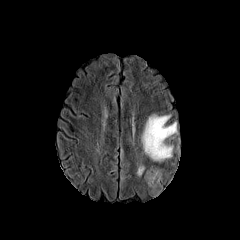
FLAIR MR image.
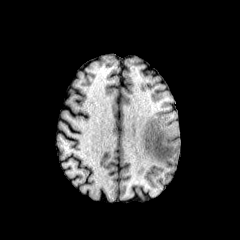
T1-weighted MR image of the same slice.
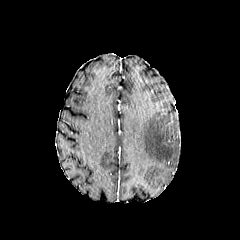
Post-contrast T1-weighted magnetic resonance.
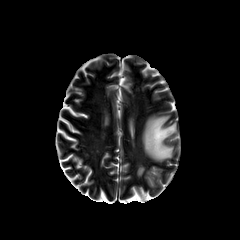
T2-weighted magnetic resonance.
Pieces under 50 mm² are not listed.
Findings:
- peritumoral edema: 141,114,177,161; 137,165,144,175; 145,167,161,187